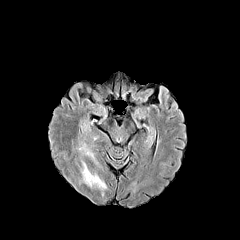
FLAIR MR image.
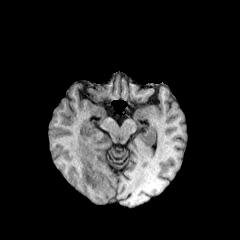
T1-weighted magnetic resonance of the same slice.
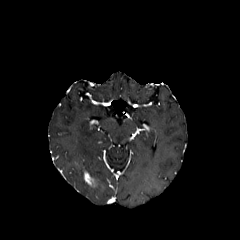
Post-contrast T1-weighted MRI.
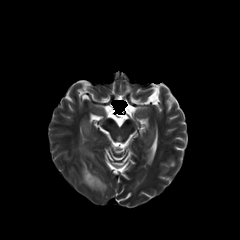
Same slice, T2-weighted MR image.
Head
2 peritumoral edema regions appear at region(77, 119, 103, 170); region(76, 159, 108, 196). The enhancing tumor appears at region(84, 171, 97, 186).